Image size 240x240, Head, Slice 32 of 155
FLAIR MRI.
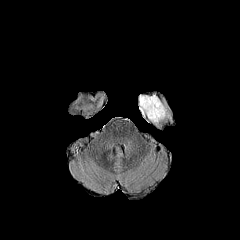
T1-weighted MR image.
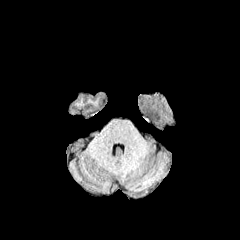
Post-contrast T1-weighted MR.
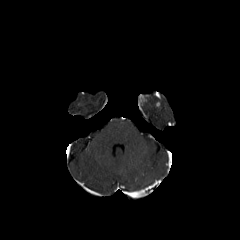
T2-weighted MRI.
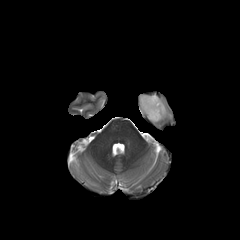
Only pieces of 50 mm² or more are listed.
Annotated regions:
* enhancing tumor: 139,94,147,106
* peritumoral edema: 139,95,169,124